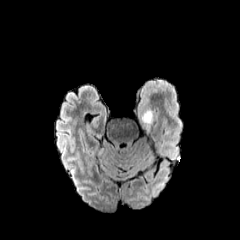
FLAIR MR image.
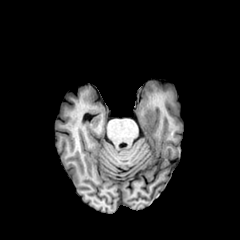
Same slice, T1-weighted MR.
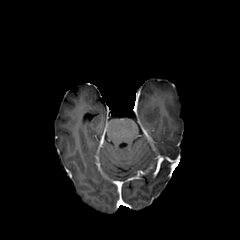
Same slice, post-contrast T1-weighted MR image.
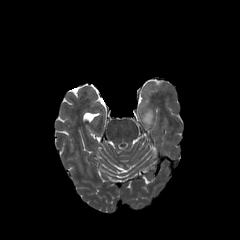
T2-weighted MRI.
Axial plane | Head
{"peritumoral_edema": ["l=141, t=111, r=153, b=132"]}